Image size 240x240, Brain
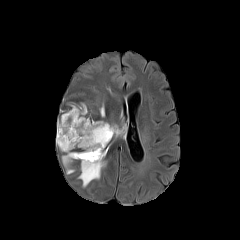
FLAIR MR.
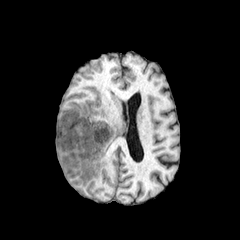
Same slice, T1-weighted MRI.
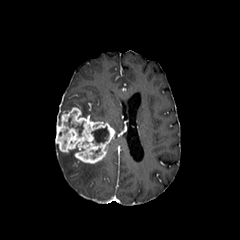
Same slice, post-contrast T1-weighted MR.
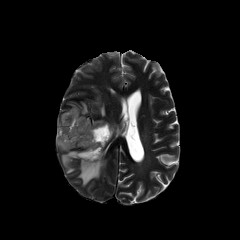
T2-weighted MRI.
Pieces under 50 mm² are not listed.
{"necrotic_tumor_core": ["x1=92 y1=127 x2=108 y2=143"], "peritumoral_edema": ["x1=70 y1=103 x2=87 y2=116", "x1=62 y1=150 x2=76 y2=173", "x1=78 y1=158 x2=106 y2=187", "x1=100 y1=104 x2=104 y2=116", "x1=110 y1=124 x2=120 y2=136"], "enhancing_tumor": ["x1=55 y1=107 x2=115 y2=163"]}